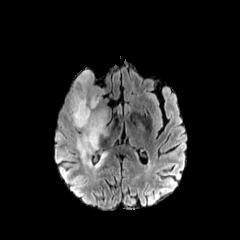
FLAIR MR.
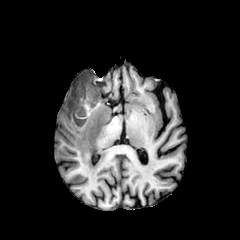
Same slice, T1-weighted magnetic resonance.
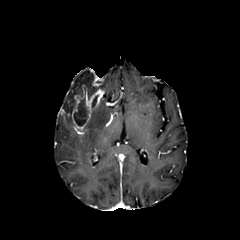
Post-contrast T1-weighted MR.
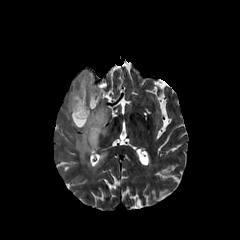
T2-weighted MRI.
240x240 px, Axial plane, Brain
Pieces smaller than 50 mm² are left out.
<segmentation>
  <enhancing_tumor>[61, 83, 104, 131]</enhancing_tumor>
  <necrotic_tumor_core>[74, 98, 89, 126]</necrotic_tumor_core>
  <peritumoral_edema>[63, 70, 97, 113], [95, 152, 107, 167], [68, 106, 107, 167]</peritumoral_edema>
</segmentation>